Slice 97/155; Brain
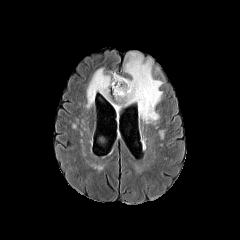
FLAIR MRI.
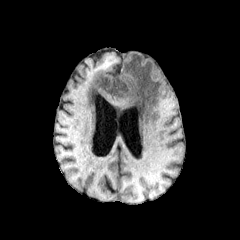
T1-weighted MR image.
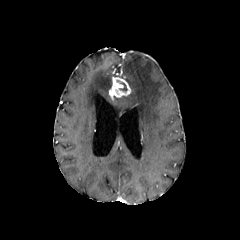
Post-contrast T1-weighted magnetic resonance.
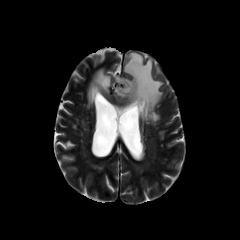
T2-weighted MRI.
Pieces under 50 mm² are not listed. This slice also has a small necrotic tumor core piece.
<segmentation>
  <peritumoral_edema>bbox=[116, 52, 162, 123]; bbox=[86, 67, 111, 108]</peritumoral_edema>
  <enhancing_tumor>bbox=[110, 77, 131, 97]</enhancing_tumor>
</segmentation>